FLAIR MR.
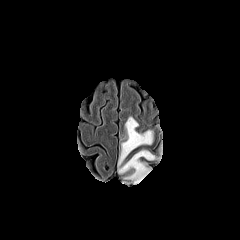
T1-weighted MR.
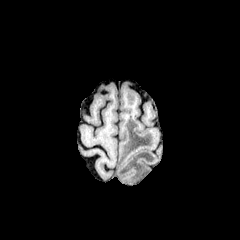
Post-contrast T1-weighted MR.
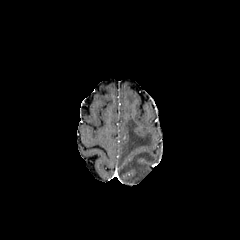
T2-weighted magnetic resonance.
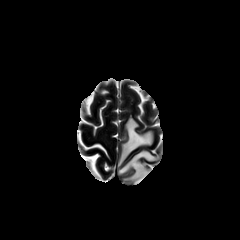
peritumoral edema: 118, 116, 157, 184